FLAIR MR image.
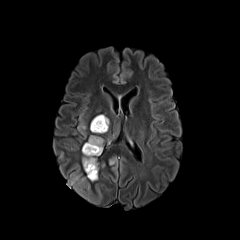
T1-weighted MRI.
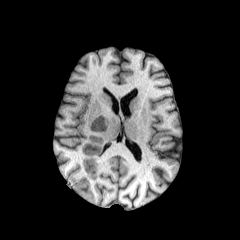
Post-contrast T1-weighted magnetic resonance.
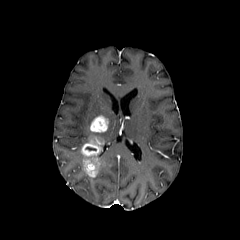
T2-weighted MR image.
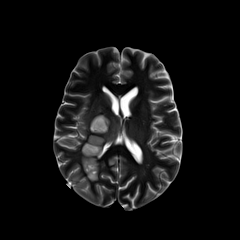
Brain
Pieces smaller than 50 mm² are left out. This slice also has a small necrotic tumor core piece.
peritumoral_edema:
  - x1=78 y1=123 x2=85 y2=133
enhancing_tumor:
  - x1=90 y1=114 x2=109 y2=133
  - x1=81 y1=135 x2=104 y2=177